FLAIR MR image.
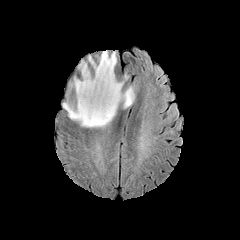
T1-weighted magnetic resonance.
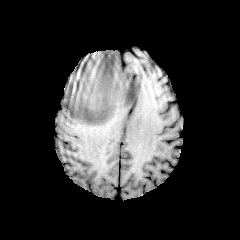
Post-contrast T1-weighted MR image.
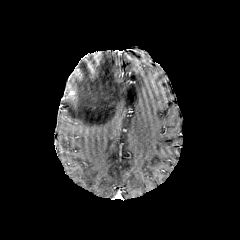
T2-weighted MR image.
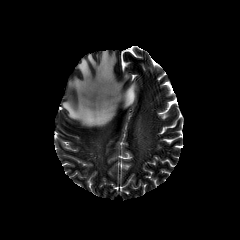
Axial view; Brain
{
  "peritumoral_edema": [
    {"x1": 63, "y1": 50, "x2": 136, "y2": 127}
  ]
}